240x240 px
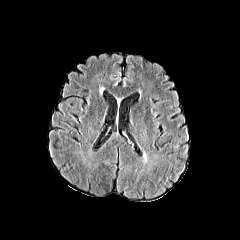
FLAIR magnetic resonance.
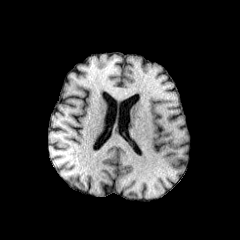
T1-weighted magnetic resonance.
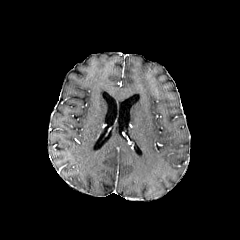
Post-contrast T1-weighted MRI.
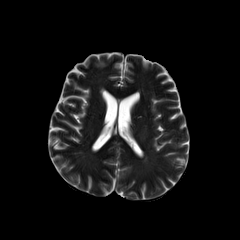
T2-weighted MRI.
peritumoral edema at bbox=[142, 150, 147, 162]